Head
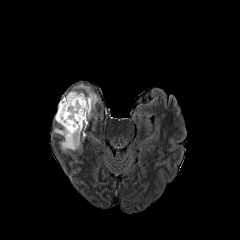
FLAIR MR image.
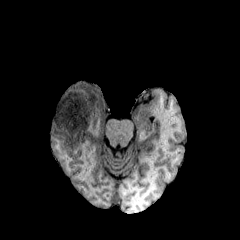
T1-weighted magnetic resonance.
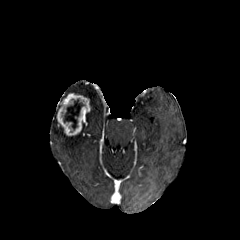
Post-contrast T1-weighted MRI of the same slice.
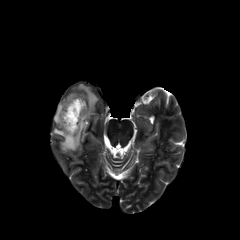
T2-weighted MR image.
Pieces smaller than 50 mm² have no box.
peritumoral edema at region(69, 84, 98, 119); region(53, 127, 81, 153)
necrotic tumor core at region(63, 99, 84, 129)
enhancing tumor at region(56, 93, 90, 135)